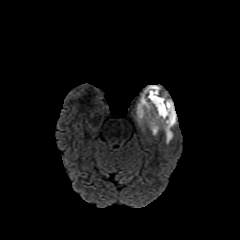
FLAIR MR image.
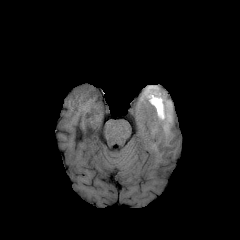
T1-weighted MR of the same slice.
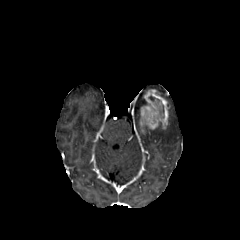
Same slice, post-contrast T1-weighted magnetic resonance.
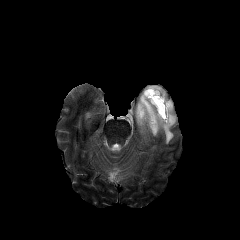
T2-weighted MR of the same slice.
Axial view
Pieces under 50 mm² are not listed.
* enhancing tumor: box=[139, 89, 170, 132]
* necrotic tumor core: box=[148, 95, 164, 115]
* peritumoral edema: box=[143, 123, 162, 135]; box=[135, 85, 176, 143]